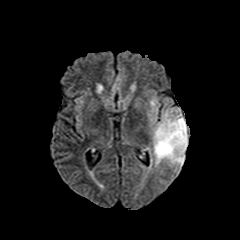
FLAIR magnetic resonance.
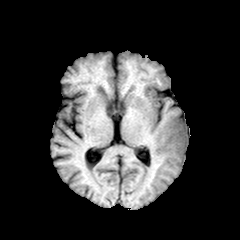
Same slice, T1-weighted MR image.
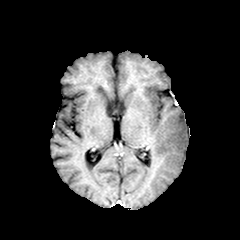
Post-contrast T1-weighted magnetic resonance of the same slice.
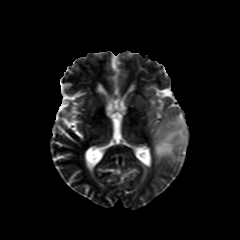
T2-weighted MR image.
Head
The peritumoral edema is at x1=153 y1=109 x2=188 y2=165.